FLAIR magnetic resonance.
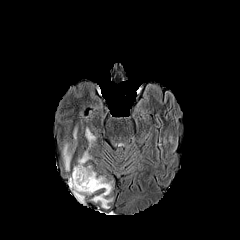
T1-weighted MR image.
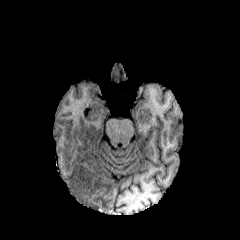
Post-contrast T1-weighted MR image.
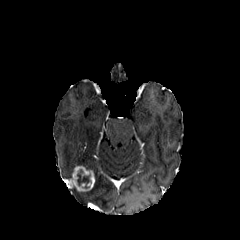
T2-weighted MRI.
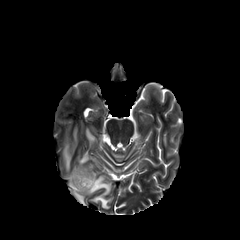
Head. Axial plane.
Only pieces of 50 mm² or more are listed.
peritumoral edema — [63,143,73,170], [85,128,95,146], [71,173,112,208], [78,151,91,165]
necrotic tumor core — [77,170,89,185]
enhancing tumor — [68,165,95,191]